Slice index 52.
FLAIR MR image.
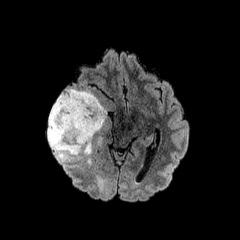
T1-weighted MR image.
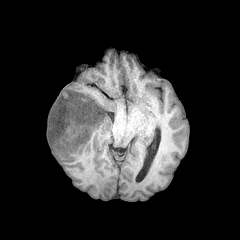
Post-contrast T1-weighted MRI.
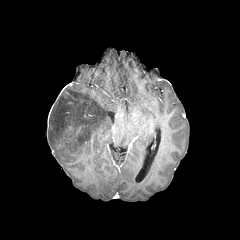
T2-weighted magnetic resonance.
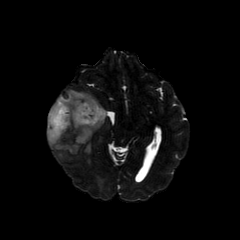
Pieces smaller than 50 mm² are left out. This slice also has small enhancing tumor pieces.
The largest peritumoral edema region is bounded by bbox=[47, 88, 106, 161].